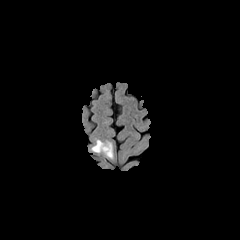
FLAIR MR.
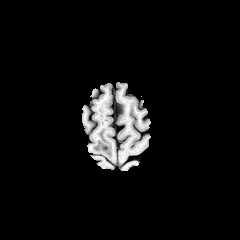
T1-weighted MR image.
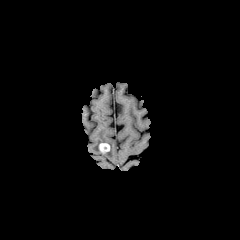
Post-contrast T1-weighted MR image.
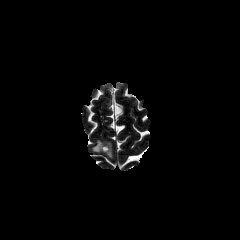
T2-weighted MRI of the same slice.
Head
<segmentation>
  <enhancing_tumor>rect(98, 143, 110, 153)</enhancing_tumor>
  <peritumoral_edema>rect(90, 139, 113, 158)</peritumoral_edema>
</segmentation>